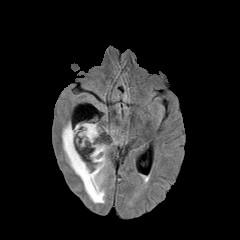
FLAIR MRI.
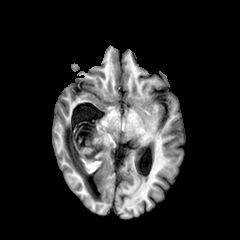
T1-weighted magnetic resonance.
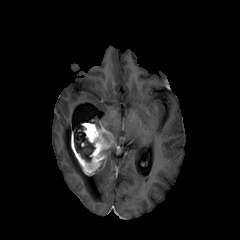
Post-contrast T1-weighted magnetic resonance.
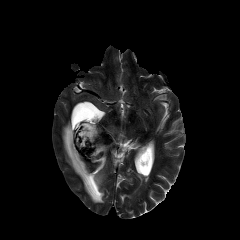
Same slice, T2-weighted MR image.
240x240
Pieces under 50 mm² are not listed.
peritumoral edema = l=105, t=126, r=117, b=145; l=62, t=122, r=109, b=203
enhancing tumor = l=71, t=123, r=114, b=175
necrotic tumor core = l=74, t=126, r=94, b=161